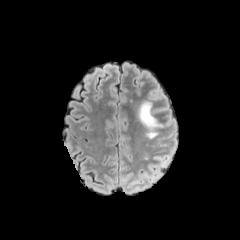
FLAIR MRI.
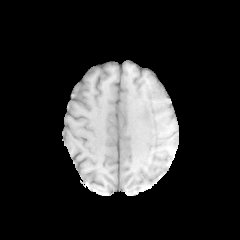
T1-weighted magnetic resonance of the same slice.
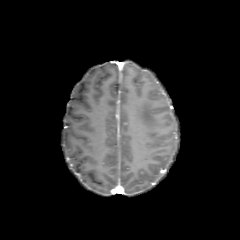
Post-contrast T1-weighted MRI of the same slice.
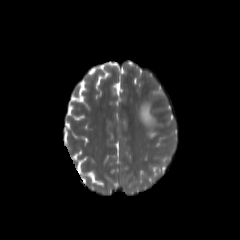
Same slice, T2-weighted magnetic resonance.
Head
peritumoral edema: [138, 101, 161, 138]